Axial view. Slice index 88. Head.
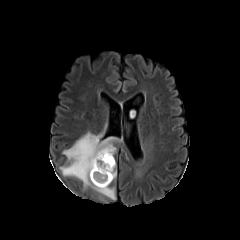
FLAIR MR image.
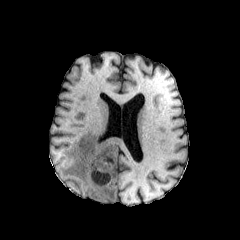
Same slice, T1-weighted magnetic resonance.
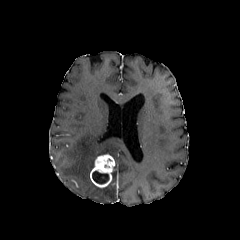
Same slice, post-contrast T1-weighted MR image.
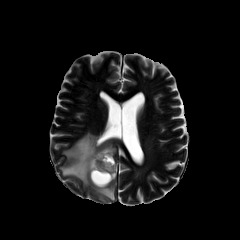
Same slice, T2-weighted MRI.
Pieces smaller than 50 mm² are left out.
{
  "peritumoral_edema": [
    "x1=59 y1=132 x2=119 y2=200"
  ],
  "enhancing_tumor": [
    "x1=90 y1=154 x2=115 y2=188"
  ],
  "necrotic_tumor_core": [
    "x1=92 y1=171 x2=108 y2=183"
  ]
}